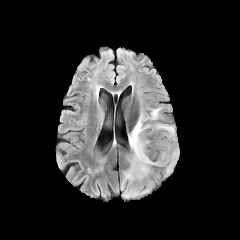
FLAIR MRI.
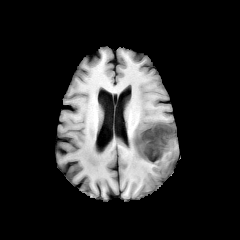
T1-weighted MR image.
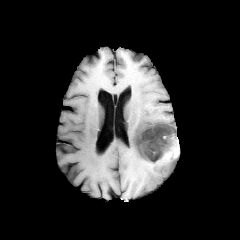
Post-contrast T1-weighted MR.
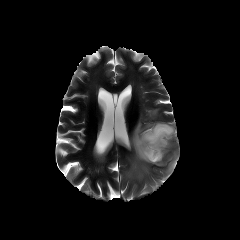
T2-weighted magnetic resonance of the same slice.
Axial slice. Head.
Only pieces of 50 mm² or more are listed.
necrotic tumor core: <bbox>137, 125, 175, 161</bbox>
peritumoral edema: <bbox>125, 108, 177, 179</bbox>
enhancing tumor: <bbox>136, 124, 178, 162</bbox>